FLAIR MR image.
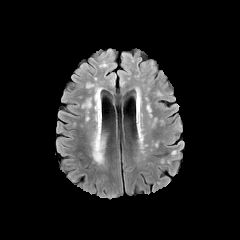
T1-weighted MRI.
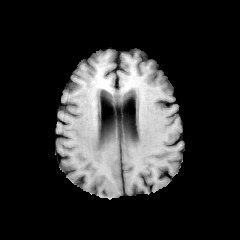
Post-contrast T1-weighted MR image.
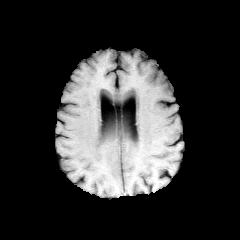
T2-weighted MRI.
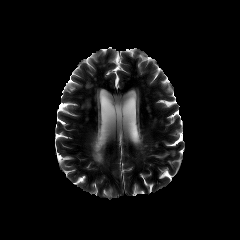
Image size 240x240
peritumoral edema — <bbox>92, 122, 104, 163</bbox>